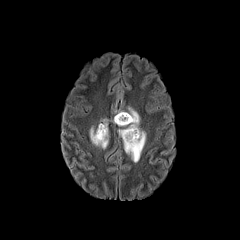
FLAIR MR.
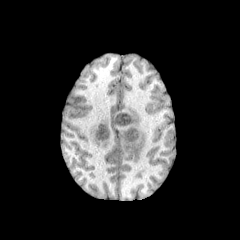
T1-weighted MRI.
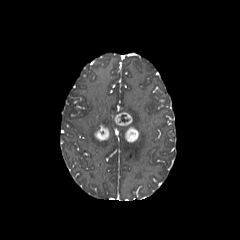
Post-contrast T1-weighted MR of the same slice.
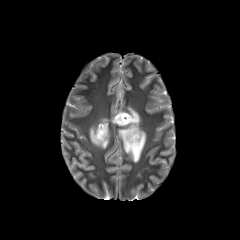
T2-weighted MR of the same slice.
Image size 240x240; Head
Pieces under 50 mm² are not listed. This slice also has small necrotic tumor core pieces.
peritumoral edema: (89, 118, 108, 149), (118, 107, 146, 162) | enhancing tumor: (95, 125, 109, 141), (114, 112, 132, 126), (124, 126, 139, 142)